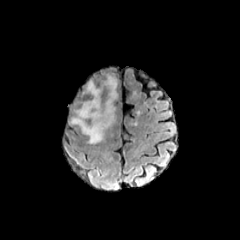
FLAIR magnetic resonance.
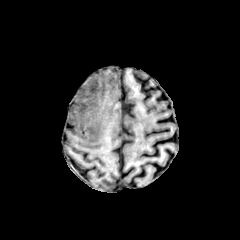
T1-weighted MR image of the same slice.
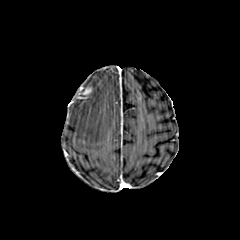
Post-contrast T1-weighted MR image.
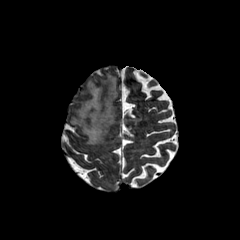
Same slice, T2-weighted magnetic resonance.
240x240 px. Brain. Axial view.
{"enhancing_tumor": [{"x1": 77, "y1": 83, "x2": 93, "y2": 98}], "peritumoral_edema": [{"x1": 71, "y1": 74, "x2": 117, "y2": 143}]}